Brain. Axial plane.
FLAIR MR image.
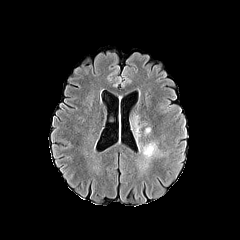
T1-weighted MR.
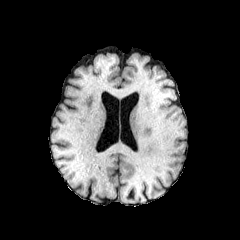
Post-contrast T1-weighted MR image.
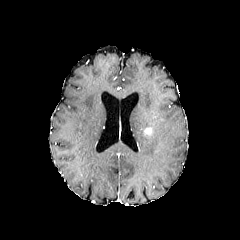
T2-weighted MRI.
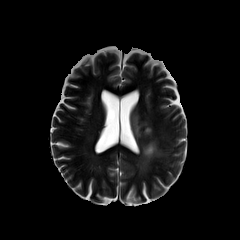
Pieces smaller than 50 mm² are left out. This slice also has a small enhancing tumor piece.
Annotated regions:
* peritumoral edema: 131:114:147:140, 137:142:163:173